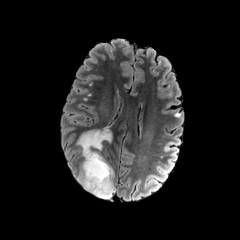
FLAIR MR image.
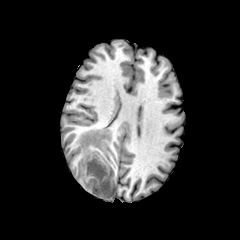
T1-weighted MR.
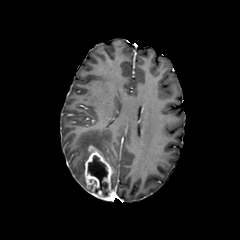
Post-contrast T1-weighted magnetic resonance.
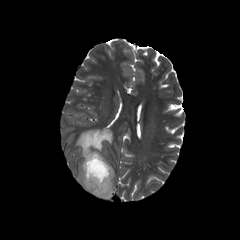
T2-weighted MR image of the same slice.
Axial view
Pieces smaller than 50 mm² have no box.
<segmentation>
  <peritumoral_edema>[76, 125, 112, 190]</peritumoral_edema>
  <necrotic_tumor_core>[88, 155, 108, 196]</necrotic_tumor_core>
  <enhancing_tumor>[84, 146, 115, 199]</enhancing_tumor>
</segmentation>